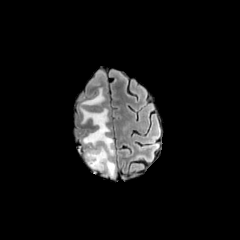
FLAIR MR.
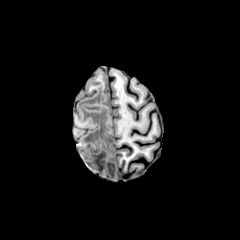
T1-weighted MR.
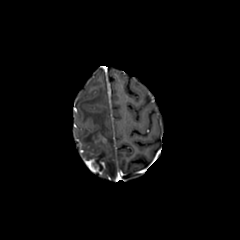
Post-contrast T1-weighted magnetic resonance.
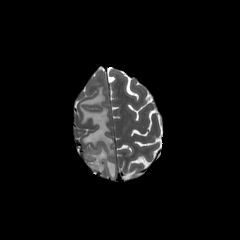
T2-weighted MRI.
Axial view. 240x240.
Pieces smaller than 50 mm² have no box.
<segmentation>
  <enhancing_tumor>rect(79, 149, 106, 156); rect(84, 157, 105, 173); rect(93, 133, 107, 144)</enhancing_tumor>
  <necrotic_tumor_core>rect(85, 152, 104, 170)</necrotic_tumor_core>
  <peritumoral_edema>rect(81, 87, 115, 177)</peritumoral_edema>
</segmentation>